Slice 101 of 155 | Head | 240x240
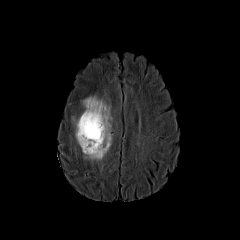
FLAIR MR.
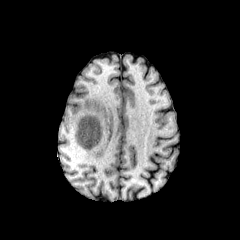
T1-weighted MR.
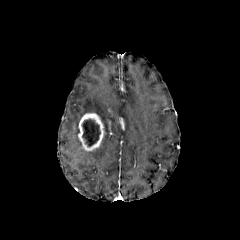
Post-contrast T1-weighted magnetic resonance of the same slice.
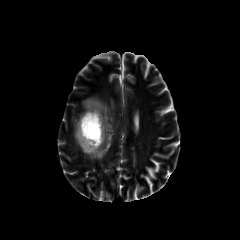
T2-weighted magnetic resonance of the same slice.
enhancing tumor: 77:112:105:151
necrotic tumor core: 82:119:100:146
peritumoral edema: 72:96:112:160